FLAIR MRI.
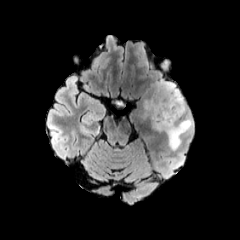
T1-weighted magnetic resonance.
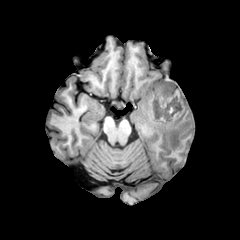
Post-contrast T1-weighted MR image.
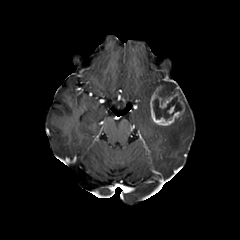
T2-weighted MR.
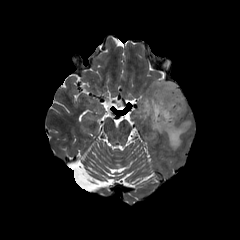
Brain.
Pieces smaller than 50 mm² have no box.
<segmentation>
  <peritumoral_edema>153,117,192,150; 156,80,184,103; 144,100,150,115</peritumoral_edema>
  <necrotic_tumor_core>153,96,182,120</necrotic_tumor_core>
  <enhancing_tumor>150,86,184,125</enhancing_tumor>
</segmentation>